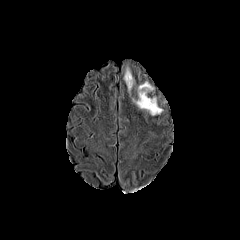
FLAIR MR.
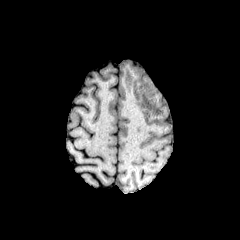
Same slice, T1-weighted MR.
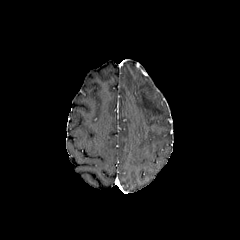
Same slice, post-contrast T1-weighted magnetic resonance.
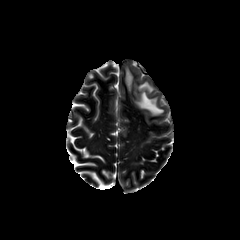
T2-weighted MRI.
Annotated regions:
* peritumoral edema: <bbox>134, 82, 162, 115</bbox>, <bbox>125, 68, 133, 91</bbox>